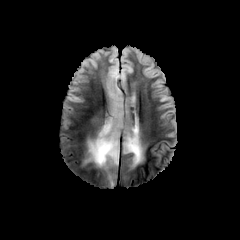
FLAIR magnetic resonance.
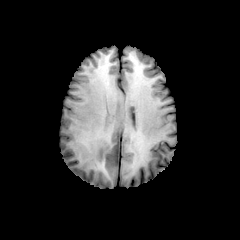
T1-weighted magnetic resonance of the same slice.
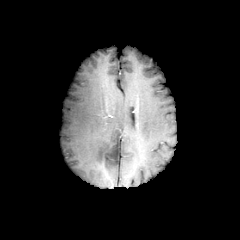
Post-contrast T1-weighted MR image of the same slice.
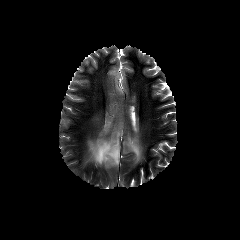
T2-weighted MR.
Head, 240x240 px, Axial slice
peritumoral edema = [x1=124, y1=128, x2=141, y2=163], [x1=86, y1=119, x2=120, y2=166]